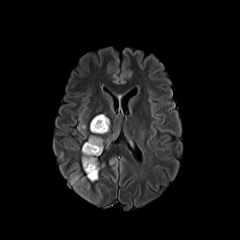
FLAIR magnetic resonance.
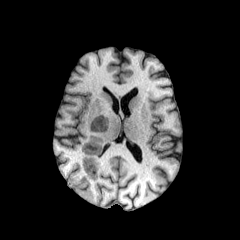
T1-weighted MR image of the same slice.
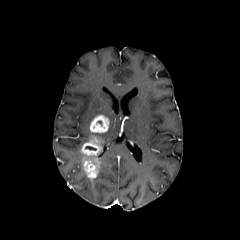
Post-contrast T1-weighted MR image.
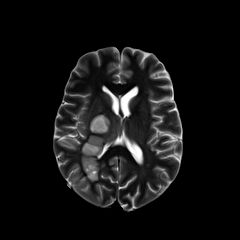
T2-weighted MRI of the same slice.
Axial view
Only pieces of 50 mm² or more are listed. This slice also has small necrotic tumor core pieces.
2 enhancing tumor regions are located at l=81, t=135, r=103, b=179; l=90, t=114, r=109, b=133. The largest peritumoral edema region is at l=78, t=122, r=85, b=134.